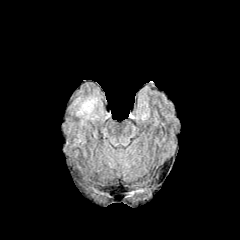
FLAIR MR image.
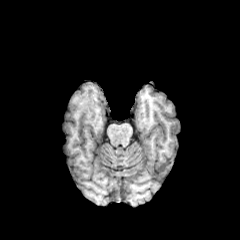
Same slice, T1-weighted magnetic resonance.
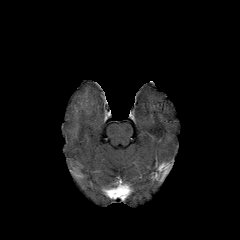
Post-contrast T1-weighted MR of the same slice.
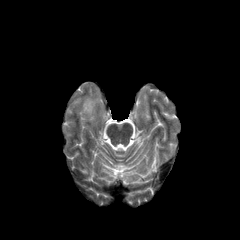
T2-weighted MRI.
Axial view | Head
The peritumoral edema lies within bbox=[73, 93, 103, 124].